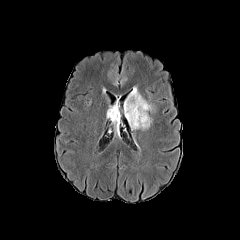
FLAIR MRI.
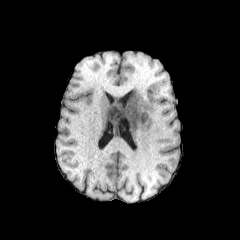
Same slice, T1-weighted MR image.
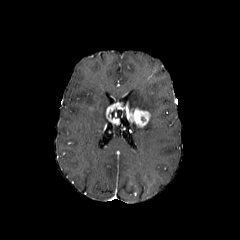
Post-contrast T1-weighted MR.
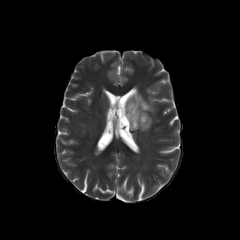
T2-weighted MRI of the same slice.
Head
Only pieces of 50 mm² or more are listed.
• necrotic tumor core: 111, 109, 126, 120
• enhancing tumor: 106, 102, 150, 127
• peritumoral edema: 127, 87, 151, 110; 130, 118, 151, 129